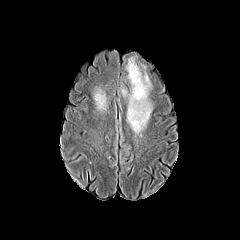
FLAIR MR image.
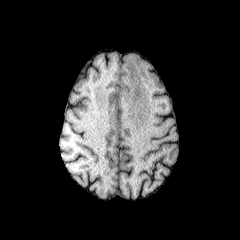
T1-weighted MRI.
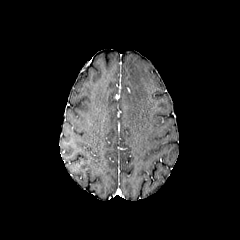
Post-contrast T1-weighted MRI.
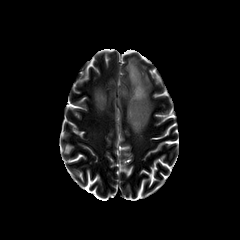
T2-weighted MR of the same slice.
Axial view, Brain, 240x240
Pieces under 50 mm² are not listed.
<segmentation>
  <peritumoral_edema>(94, 89, 106, 109), (126, 58, 151, 133)</peritumoral_edema>
</segmentation>